FLAIR MR.
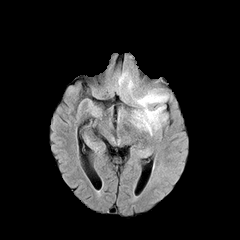
T1-weighted MR.
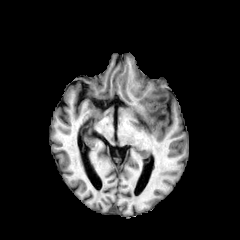
Post-contrast T1-weighted magnetic resonance.
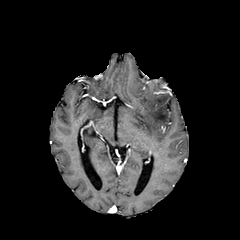
T2-weighted magnetic resonance.
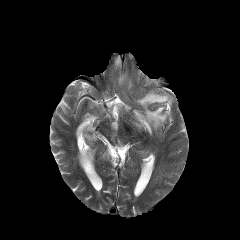
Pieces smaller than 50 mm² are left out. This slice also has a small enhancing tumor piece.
peritumoral edema — [x1=118, y1=72, x2=133, y2=92], [x1=133, y1=88, x2=168, y2=135]